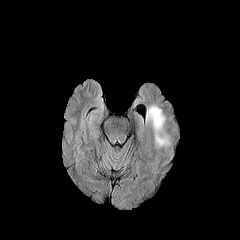
FLAIR MR.
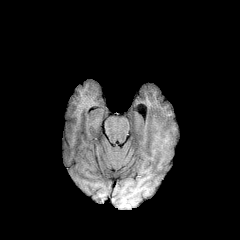
T1-weighted MR of the same slice.
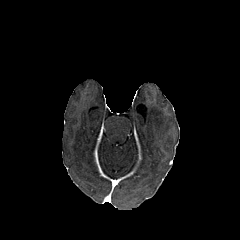
Post-contrast T1-weighted MR image of the same slice.
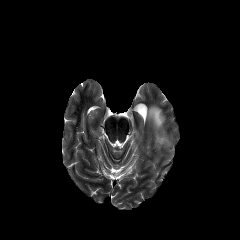
T2-weighted magnetic resonance of the same slice.
Axial plane
peritumoral edema: (left=146, top=105, right=169, bottom=146)